Brain. Axial slice. Slice 31 of 155.
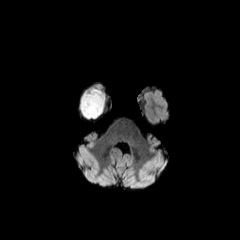
FLAIR MR image.
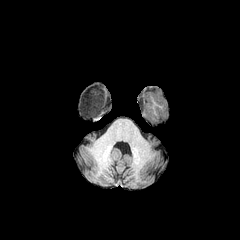
T1-weighted magnetic resonance of the same slice.
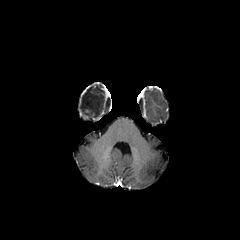
Post-contrast T1-weighted magnetic resonance.
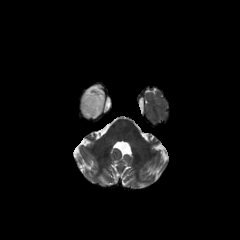
T2-weighted MRI of the same slice.
peritumoral_edema:
  - {"x1": 80, "y1": 86, "x2": 104, "y2": 118}
enhancing_tumor:
  - {"x1": 81, "y1": 107, "x2": 94, "y2": 118}